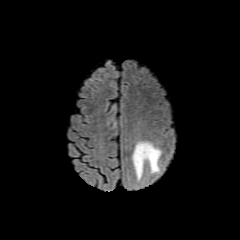
FLAIR MR.
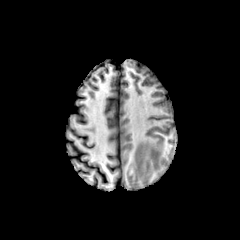
T1-weighted MRI of the same slice.
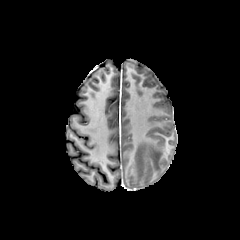
Post-contrast T1-weighted MR of the same slice.
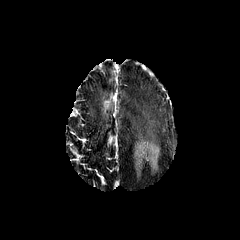
T2-weighted MR.
Axial plane; Head
Findings:
• peritumoral edema: [x1=132, y1=141, x2=161, y2=181]